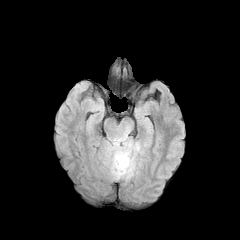
FLAIR MR image.
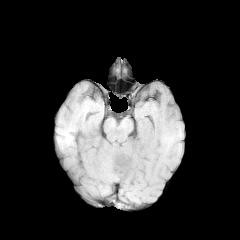
Same slice, T1-weighted MRI.
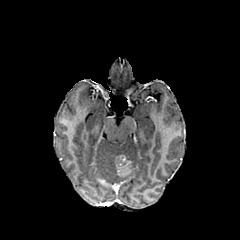
Same slice, post-contrast T1-weighted magnetic resonance.
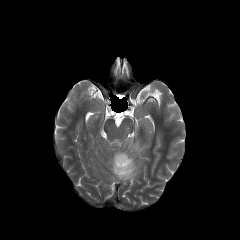
Same slice, T2-weighted MR image.
Axial view, Image size 240x240
<segmentation>
  <peritumoral_edema>(left=104, top=125, right=139, bottom=180)</peritumoral_edema>
  <enhancing_tumor>(left=115, top=154, right=133, bottom=177)</enhancing_tumor>
</segmentation>